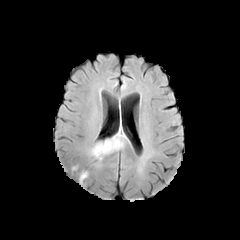
FLAIR MRI.
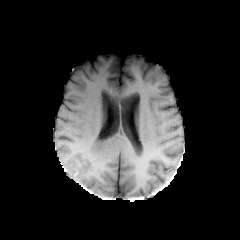
T1-weighted MRI.
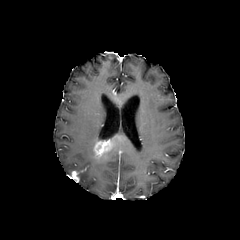
Post-contrast T1-weighted MR.
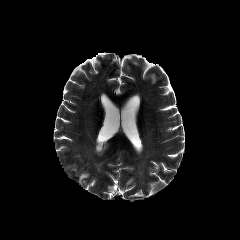
Same slice, T2-weighted MR.
Axial plane. 240x240 px.
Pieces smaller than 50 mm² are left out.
The 2 largest peritumoral edema regions appear at (90, 130, 125, 159), (79, 171, 89, 182). 2 enhancing tumor regions are bounded by (93, 137, 117, 157), (72, 171, 79, 181).